Brain, 240x240, Axial plane
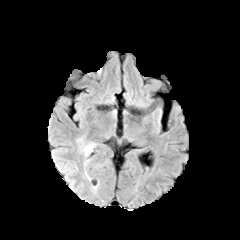
FLAIR MR image.
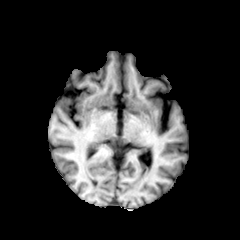
T1-weighted magnetic resonance.
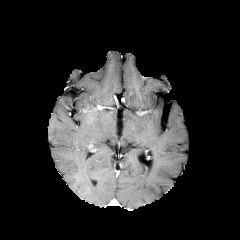
Post-contrast T1-weighted magnetic resonance.
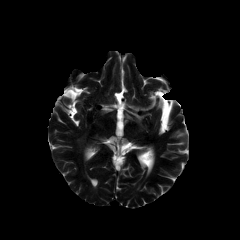
T2-weighted MR of the same slice.
Segmented structures:
* peritumoral edema: bbox=[84, 145, 93, 155]